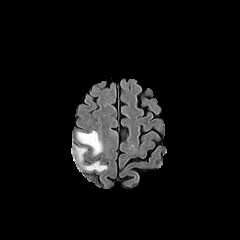
FLAIR MR.
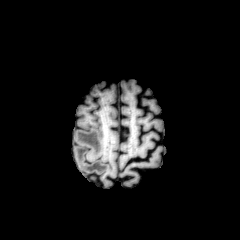
T1-weighted MR image.
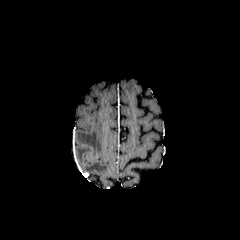
Same slice, post-contrast T1-weighted MR image.
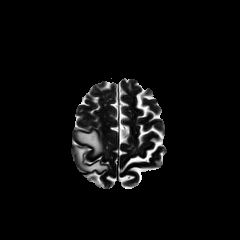
Same slice, T2-weighted MR image.
240x240 px | Head
{
  "peritumoral_edema": [
    "(x1=76, y1=147, x2=107, y2=171)",
    "(x1=77, y1=130, x2=102, y2=155)"
  ]
}